Slice 57 of 155, Image covers 240 mm x 240 mm, Brain, Axial slice
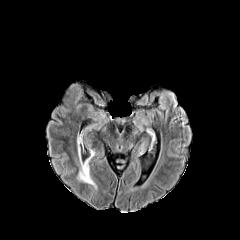
FLAIR MR image.
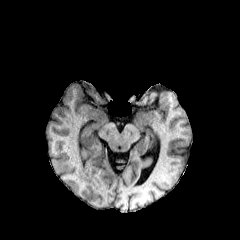
Same slice, T1-weighted MRI.
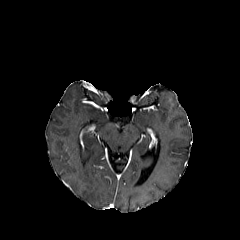
Post-contrast T1-weighted MR image.
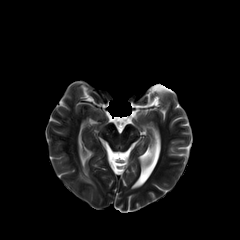
T2-weighted MR.
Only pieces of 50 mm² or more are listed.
peritumoral edema = bbox(79, 159, 94, 185)